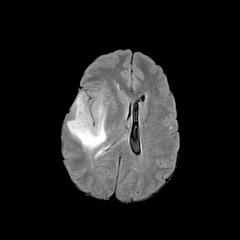
FLAIR MR.
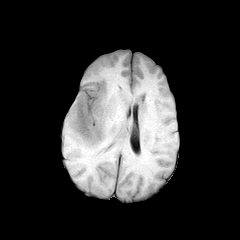
T1-weighted MR image of the same slice.
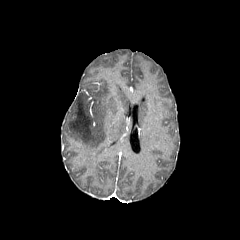
Same slice, post-contrast T1-weighted magnetic resonance.
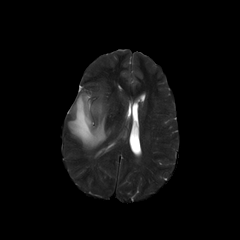
T2-weighted MR of the same slice.
Brain, Axial view, 240x240
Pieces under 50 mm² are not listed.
peritumoral edema: <bbox>67, 93, 106, 150</bbox>